FLAIR MRI.
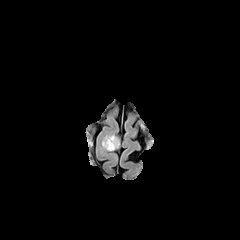
T1-weighted MRI.
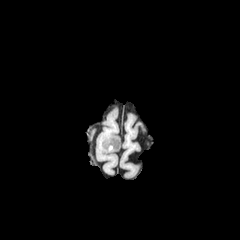
Post-contrast T1-weighted MR image.
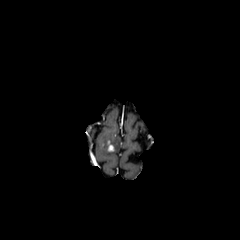
T2-weighted MR image.
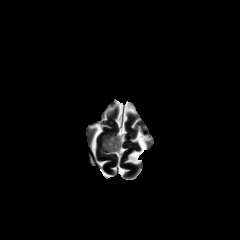
Head; Axial slice; 240x240 px
{"peritumoral_edema": ["(101, 134, 119, 152)"], "enhancing_tumor": ["(107, 141, 113, 151)"]}